Image size 240x240
FLAIR MR.
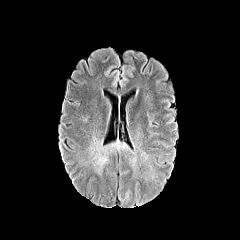
T1-weighted MR.
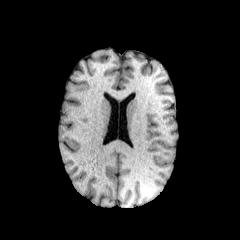
Post-contrast T1-weighted MR.
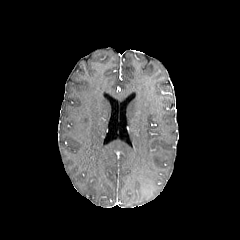
T2-weighted MR image.
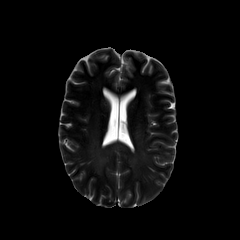
Findings:
* peritumoral edema: left=80, top=126, right=164, bottom=183